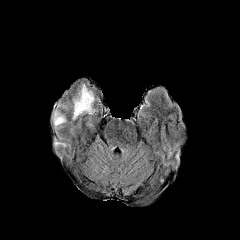
FLAIR MR.
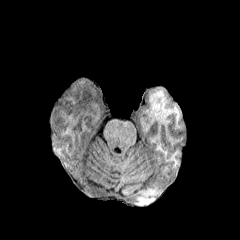
T1-weighted MR image.
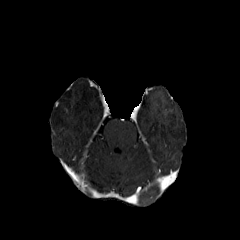
Post-contrast T1-weighted MR image of the same slice.
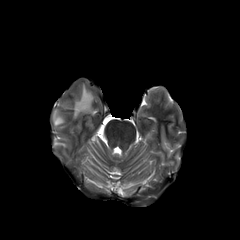
T2-weighted MR image of the same slice.
Axial view; Image size 240x240
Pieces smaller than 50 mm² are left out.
{"peritumoral_edema": ["73 84 94 119", "52 109 65 127"]}